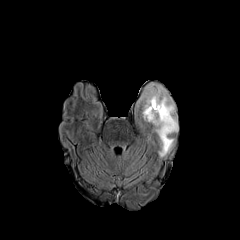
FLAIR MR.
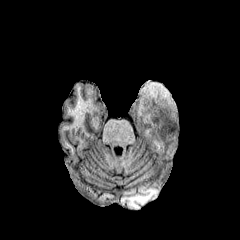
T1-weighted MR image.
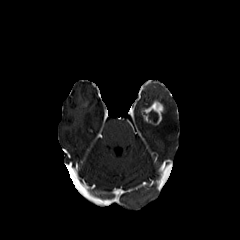
Post-contrast T1-weighted MR of the same slice.
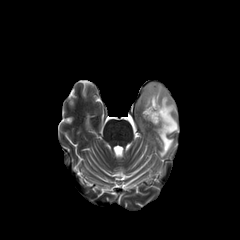
T2-weighted MR image of the same slice.
Axial plane
enhancing_tumor:
  - (141, 99, 164, 125)
peritumoral_edema:
  - (139, 83, 178, 156)
necrotic_tumor_core:
  - (149, 110, 158, 122)